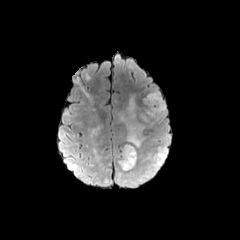
FLAIR MR.
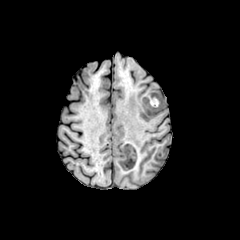
Same slice, T1-weighted MR image.
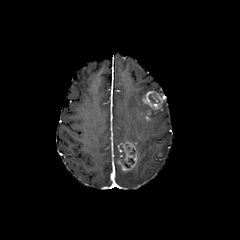
Post-contrast T1-weighted MRI of the same slice.
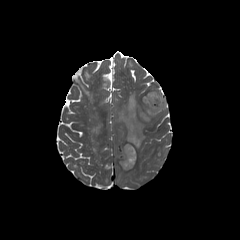
T2-weighted magnetic resonance of the same slice.
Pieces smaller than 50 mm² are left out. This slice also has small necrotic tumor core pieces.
<segmentation>
  <peritumoral_edema>[127,124,142,148], [117,169,147,185], [156,148,166,165], [139,102,146,119], [128,97,135,117], [151,91,165,120]</peritumoral_edema>
  <enhancing_tumor>[141,91,163,120], [118,142,137,171]</enhancing_tumor>
</segmentation>